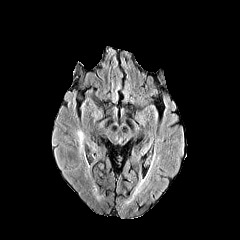
FLAIR magnetic resonance.
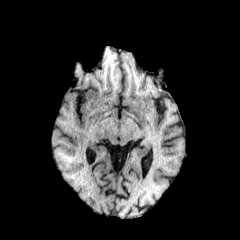
T1-weighted MR image.
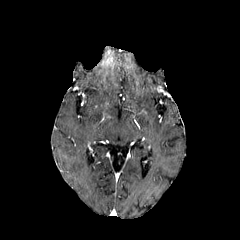
Post-contrast T1-weighted MR image of the same slice.
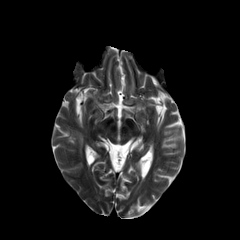
T2-weighted MR.
The peritumoral edema is located at 77, 131, 83, 151.